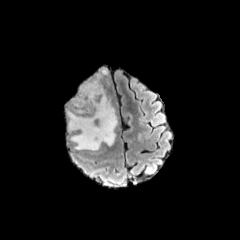
FLAIR MR image.
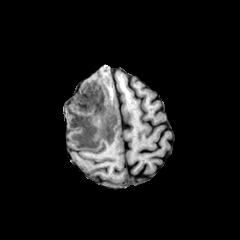
T1-weighted MR image of the same slice.
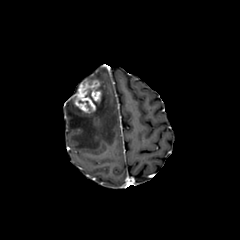
Post-contrast T1-weighted MR of the same slice.
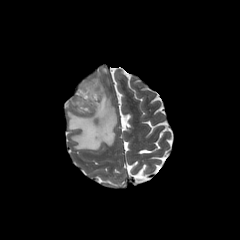
T2-weighted MR image of the same slice.
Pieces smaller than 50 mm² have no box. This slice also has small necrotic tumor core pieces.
The enhancing tumor is bounded by [73,80,101,113]. The largest peritumoral edema region lies within [68,84,117,150].